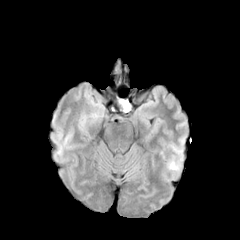
FLAIR magnetic resonance.
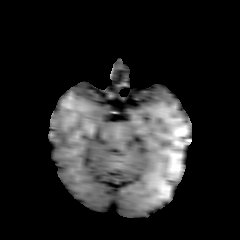
T1-weighted MR.
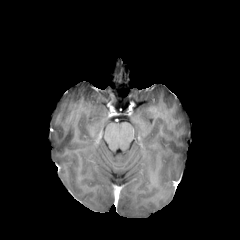
Post-contrast T1-weighted MR image of the same slice.
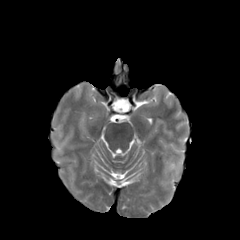
T2-weighted MR image.
The peritumoral edema appears at (x1=169, y1=161, x2=177, y2=169).